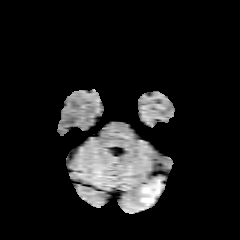
FLAIR MR.
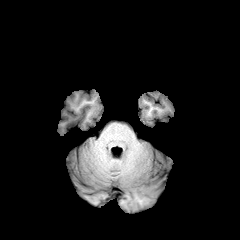
T1-weighted MR.
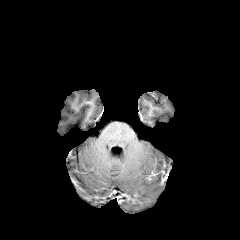
Post-contrast T1-weighted MR image of the same slice.
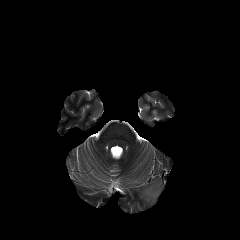
T2-weighted MRI.
Brain
The peritumoral edema appears at 140,179,162,205.